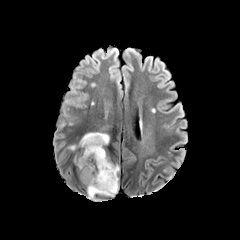
FLAIR MR image.
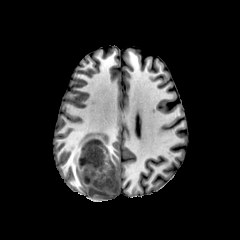
T1-weighted MR.
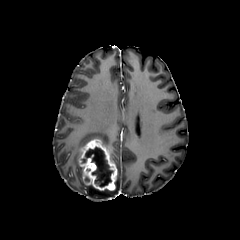
Same slice, post-contrast T1-weighted MR.
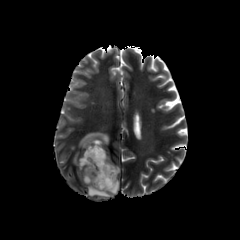
T2-weighted MR.
Axial view, 240x240
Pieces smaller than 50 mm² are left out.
The largest necrotic tumor core region is at region(82, 147, 113, 186). The enhancing tumor is at region(79, 139, 117, 190). The 3 largest peritumoral edema regions are bounded by region(79, 132, 109, 146); region(87, 175, 118, 198); region(73, 154, 82, 179).